Slice index 90
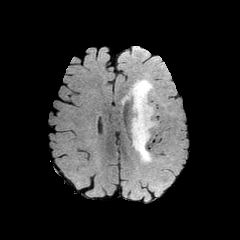
FLAIR MR.
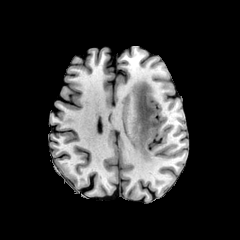
T1-weighted magnetic resonance.
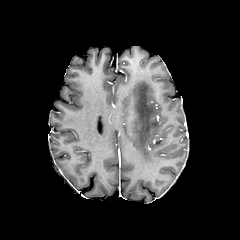
Post-contrast T1-weighted MR image of the same slice.
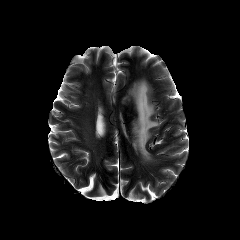
T2-weighted MR of the same slice.
peritumoral edema: bounding box (x1=122, y1=79, x2=157, y2=163)